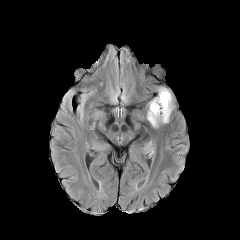
FLAIR MR.
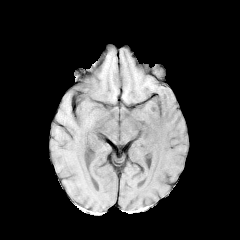
T1-weighted magnetic resonance.
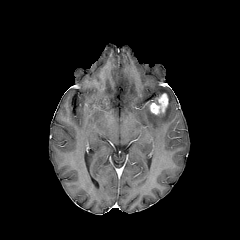
Post-contrast T1-weighted MR of the same slice.
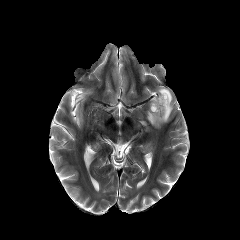
Same slice, T2-weighted magnetic resonance.
enhancing tumor: bounding box 150, 93, 168, 114
peritumoral edema: bounding box 147, 87, 174, 127